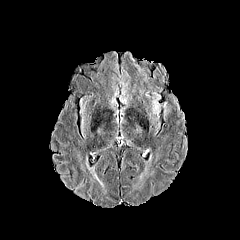
FLAIR MR image.
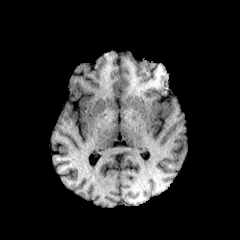
Same slice, T1-weighted MR image.
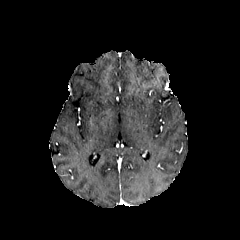
Post-contrast T1-weighted MRI.
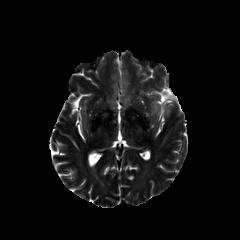
T2-weighted magnetic resonance of the same slice.
Brain
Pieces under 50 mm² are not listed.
<segmentation>
  <peritumoral_edema>left=153, top=103, right=158, bottom=113</peritumoral_edema>
</segmentation>